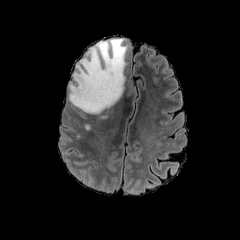
FLAIR magnetic resonance.
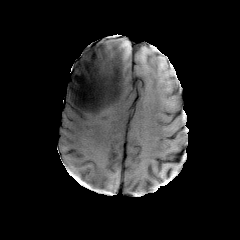
T1-weighted MR image.
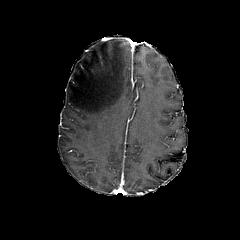
Post-contrast T1-weighted MRI.
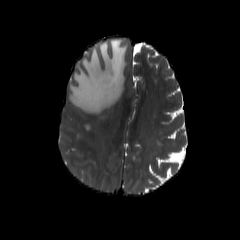
T2-weighted magnetic resonance.
240x240 px. Axial view.
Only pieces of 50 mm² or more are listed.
The largest peritumoral edema region is bounded by box=[68, 38, 128, 114].